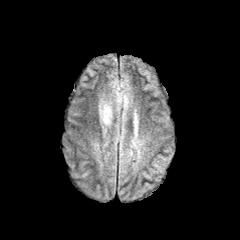
FLAIR MRI.
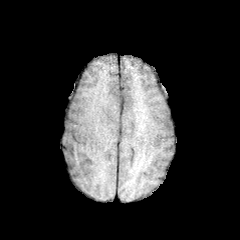
T1-weighted magnetic resonance of the same slice.
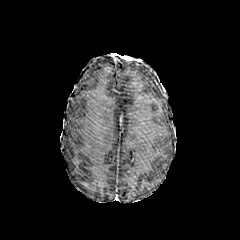
Post-contrast T1-weighted magnetic resonance.
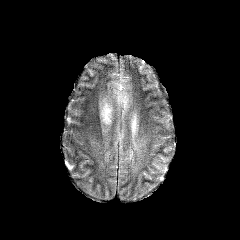
T2-weighted MR image.
Axial slice.
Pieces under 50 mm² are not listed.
The largest peritumoral edema region is bounded by [x1=99, y1=100, x2=111, y2=124].